FLAIR MRI.
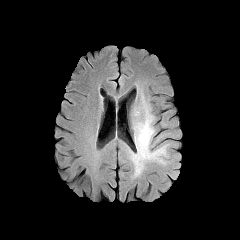
T1-weighted MRI.
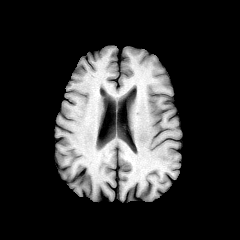
Post-contrast T1-weighted MRI.
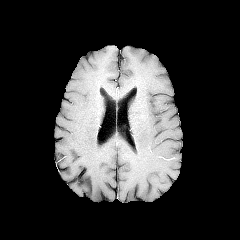
T2-weighted MR image.
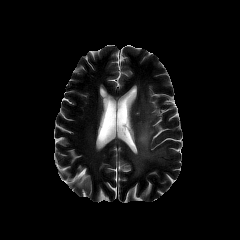
Axial view, Image size 240x240, Brain
<segmentation>
  <peritumoral_edema>133, 106, 165, 172</peritumoral_edema>
</segmentation>